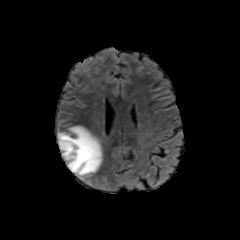
FLAIR MRI.
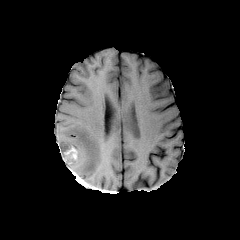
T1-weighted MR.
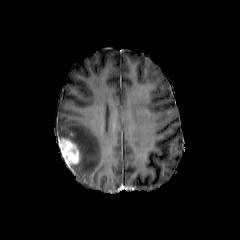
Post-contrast T1-weighted MRI.
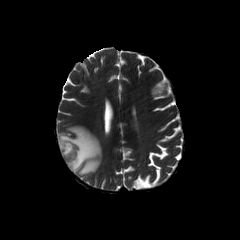
Same slice, T2-weighted magnetic resonance.
Head | 240x240 px | Axial view
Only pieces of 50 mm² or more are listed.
The largest peritumoral edema region appears at (left=57, top=125, right=102, bottom=180). The enhancing tumor lies within (left=59, top=138, right=80, bottom=169).